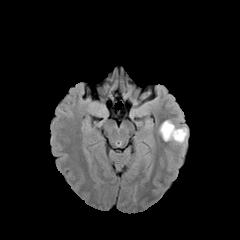
FLAIR MR.
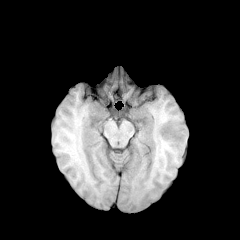
T1-weighted MRI of the same slice.
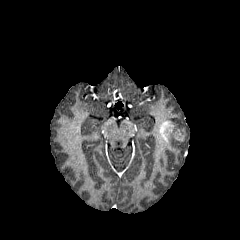
Post-contrast T1-weighted MRI.
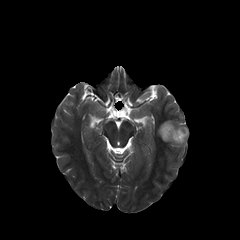
T2-weighted magnetic resonance.
Brain
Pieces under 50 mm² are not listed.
enhancing tumor = <bbox>174, 130, 184, 140</bbox>, <bbox>159, 121, 173, 141</bbox>
peritumoral edema = <bbox>167, 120, 188, 146</bbox>